FLAIR magnetic resonance.
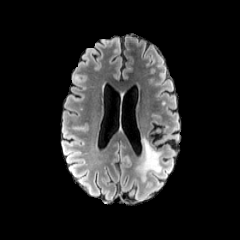
T1-weighted MR image.
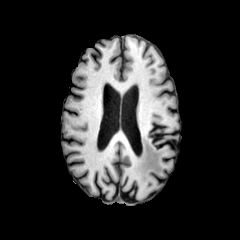
Post-contrast T1-weighted magnetic resonance.
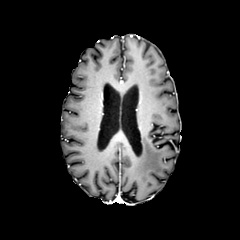
T2-weighted MR.
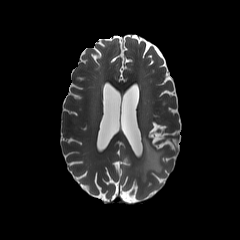
The peritumoral edema is at [x1=134, y1=137, x2=161, y2=181].